FLAIR MR.
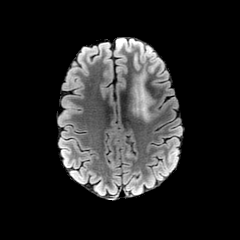
T1-weighted magnetic resonance.
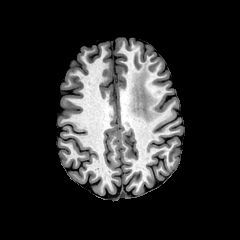
Post-contrast T1-weighted MR.
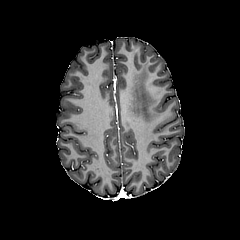
T2-weighted magnetic resonance.
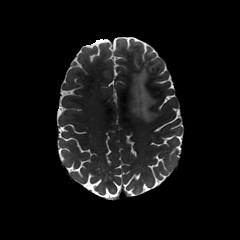
Image size 240x240.
peritumoral_edema:
  - rect(131, 71, 153, 121)